Slice 67/155; Brain
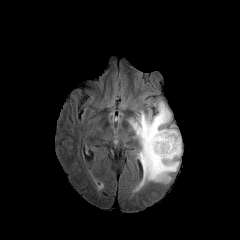
FLAIR magnetic resonance.
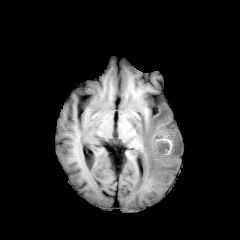
T1-weighted MR of the same slice.
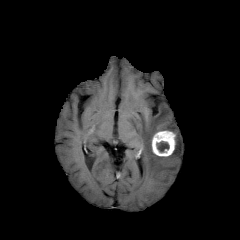
Post-contrast T1-weighted MR.
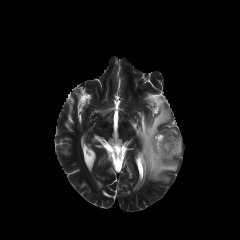
T2-weighted magnetic resonance.
{
  "enhancing_tumor": [
    "<bbox>152, 130, 175, 156</bbox>"
  ],
  "peritumoral_edema": [
    "<bbox>130, 100, 181, 186</bbox>"
  ],
  "necrotic_tumor_core": [
    "<bbox>157, 141, 168, 151</bbox>"
  ]
}